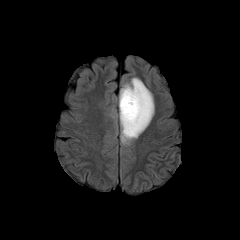
FLAIR MR image.
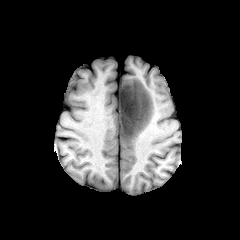
T1-weighted magnetic resonance of the same slice.
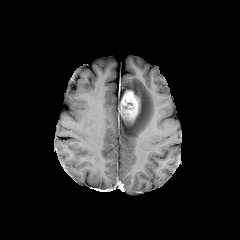
Same slice, post-contrast T1-weighted MR image.
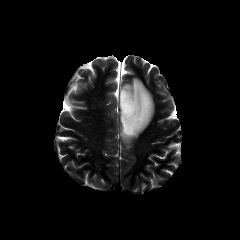
T2-weighted magnetic resonance.
240x240 px, Brain
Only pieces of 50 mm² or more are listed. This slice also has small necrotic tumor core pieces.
enhancing tumor — bbox(120, 90, 139, 122)
peritumoral edema — bbox(119, 77, 154, 145)